FLAIR magnetic resonance.
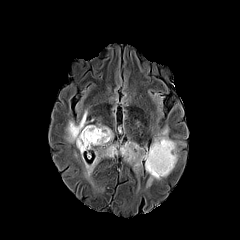
T1-weighted MR image.
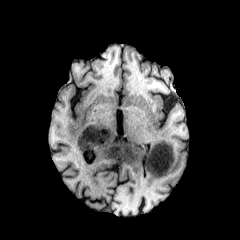
Post-contrast T1-weighted magnetic resonance.
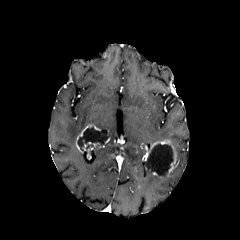
T2-weighted magnetic resonance.
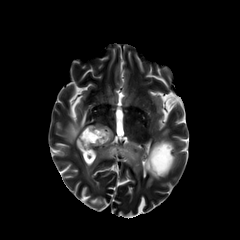
Axial plane | Head
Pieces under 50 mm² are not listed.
The 6 largest peritumoral edema regions appear at 96, 123, 113, 138; 81, 142, 119, 175; 154, 128, 168, 141; 65, 110, 93, 143; 146, 169, 160, 186; 120, 142, 148, 173. The 2 largest necrotic tumor core regions are located at 77, 127, 109, 150; 145, 143, 173, 176. The 3 largest enhancing tumor regions are bounded by 82, 142, 99, 150; 143, 139, 176, 174; 75, 124, 100, 152.